Axial view. Image size 240x240. Slice 130 of 155.
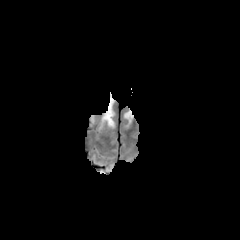
FLAIR MR image.
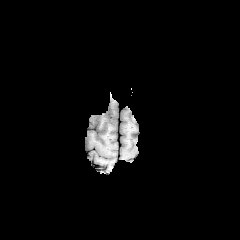
T1-weighted magnetic resonance.
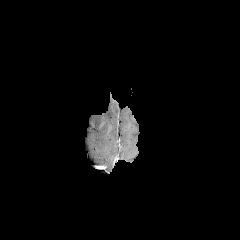
Post-contrast T1-weighted MR.
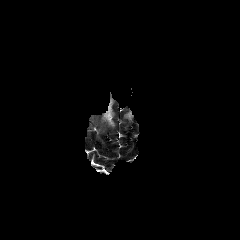
T2-weighted MR.
peritumoral edema at 124, 111, 132, 128; 100, 98, 114, 128